FLAIR MR image.
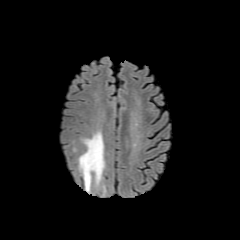
T1-weighted MRI.
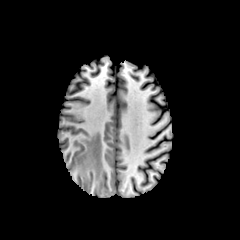
Post-contrast T1-weighted MR.
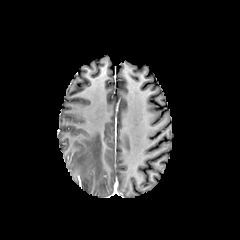
T2-weighted MRI.
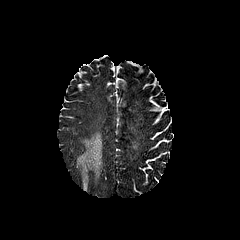
Head | Axial view
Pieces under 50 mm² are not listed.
{"peritumoral_edema": ["[x1=78, y1=131, x2=104, y2=191]"]}